Slice 98 of 155 | Brain
FLAIR MRI.
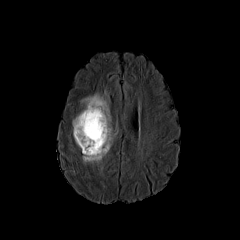
T1-weighted MRI.
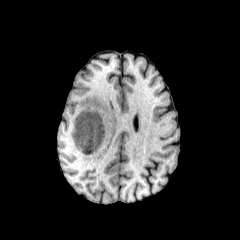
Post-contrast T1-weighted magnetic resonance.
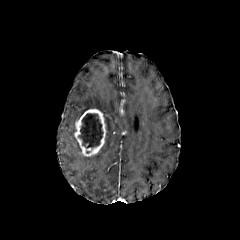
T2-weighted MR.
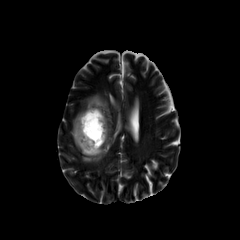
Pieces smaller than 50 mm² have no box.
necrotic tumor core at (79,114,102,147)
peritumoral edema at (72,93,115,162)
enhancing tumor at (74,108,106,156)